FLAIR MRI.
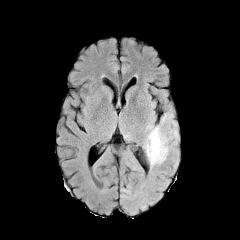
T1-weighted magnetic resonance.
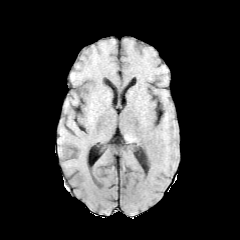
Post-contrast T1-weighted magnetic resonance.
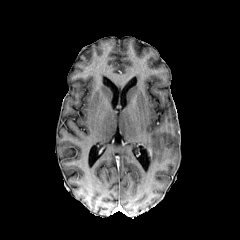
T2-weighted MR image.
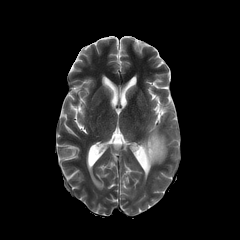
Axial view. Brain.
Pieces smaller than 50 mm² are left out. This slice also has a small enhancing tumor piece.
peritumoral edema: {"x1": 144, "y1": 126, "x2": 167, "y2": 166}